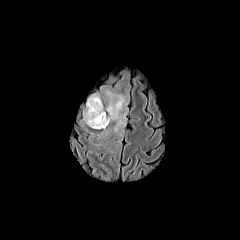
FLAIR MRI.
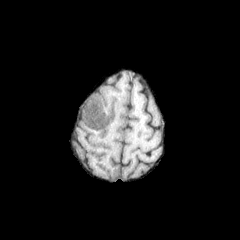
Same slice, T1-weighted magnetic resonance.
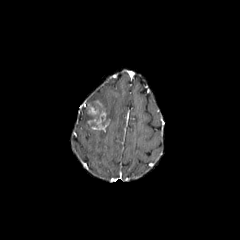
Post-contrast T1-weighted magnetic resonance.
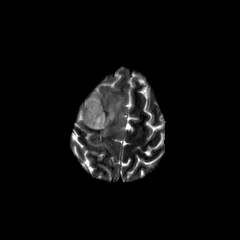
T2-weighted magnetic resonance.
Axial plane; Head
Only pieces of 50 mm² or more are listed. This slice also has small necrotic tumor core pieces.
<segmentation>
  <enhancing_tumor>87,100,110,130</enhancing_tumor>
  <peritumoral_edema>82,93,102,125; 103,91,126,131</peritumoral_edema>
</segmentation>